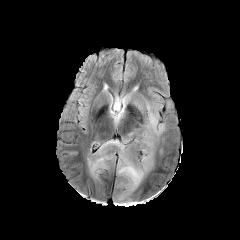
FLAIR MRI.
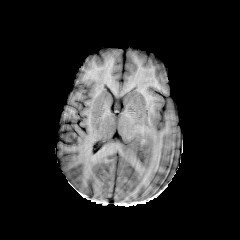
Same slice, T1-weighted MRI.
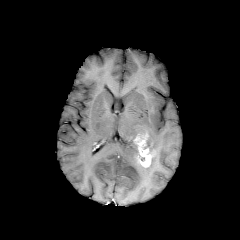
Post-contrast T1-weighted magnetic resonance of the same slice.
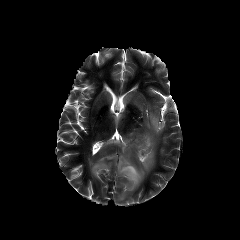
T2-weighted MR image of the same slice.
Axial plane
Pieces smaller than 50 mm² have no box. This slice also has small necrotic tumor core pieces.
The enhancing tumor is located at rect(133, 133, 153, 167). The 2 largest peritumoral edema regions are located at rect(141, 103, 164, 154); rect(88, 132, 153, 191).